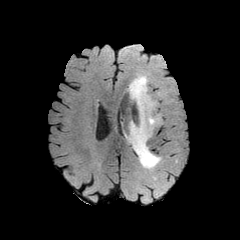
FLAIR magnetic resonance.
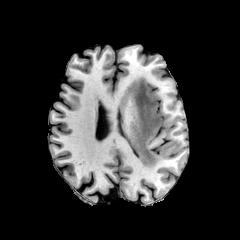
T1-weighted MRI.
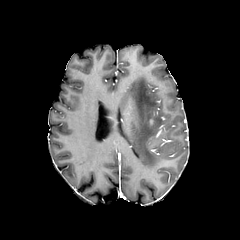
Same slice, post-contrast T1-weighted magnetic resonance.
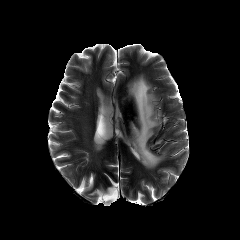
T2-weighted MRI.
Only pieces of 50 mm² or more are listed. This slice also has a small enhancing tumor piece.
The peritumoral edema is at 127:75:161:168.